Brain
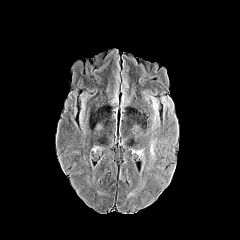
FLAIR magnetic resonance.
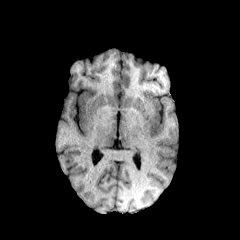
T1-weighted MRI of the same slice.
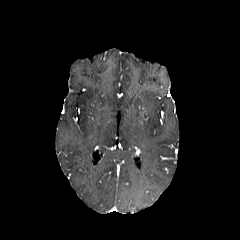
Same slice, post-contrast T1-weighted MRI.
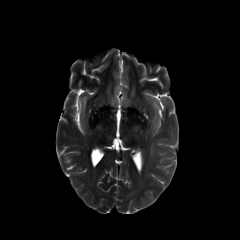
Same slice, T2-weighted magnetic resonance.
Findings:
• peritumoral edema: [x1=151, y1=138, x2=157, y2=155]